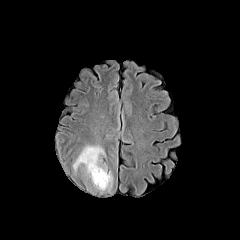
FLAIR MR.
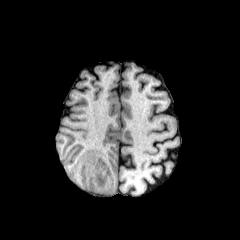
T1-weighted MRI of the same slice.
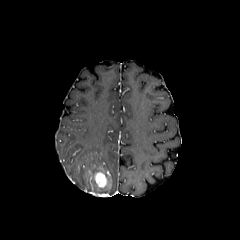
Post-contrast T1-weighted magnetic resonance.
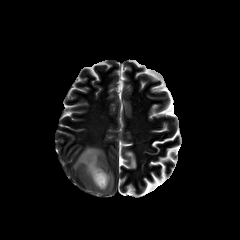
T2-weighted magnetic resonance.
240x240 px
enhancing tumor at box=[94, 171, 107, 188]
peritumoral edema at box=[73, 145, 113, 192]